Axial plane, 240x240 px, Slice 90 of 155, Head
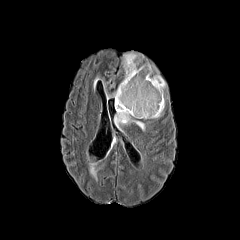
FLAIR MRI.
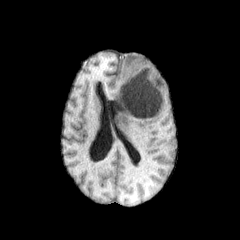
T1-weighted MR image of the same slice.
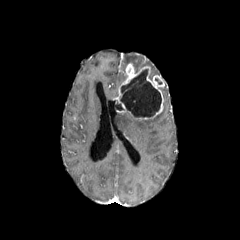
Post-contrast T1-weighted MRI of the same slice.
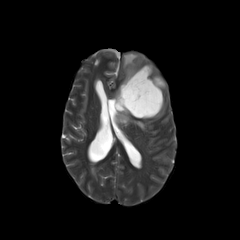
T2-weighted MR.
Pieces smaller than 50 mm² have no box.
enhancing tumor: bounding box left=115, top=63, right=164, bottom=119
necrotic tumor core: bounding box left=120, top=69, right=161, bottom=117
peritumoral edema: bounding box left=89, top=163, right=101, bottom=181; left=123, top=53, right=140, bottom=71; left=114, top=113, right=145, bottom=130